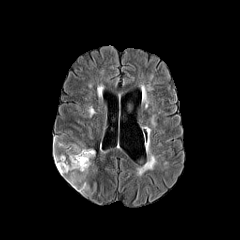
FLAIR MR image.
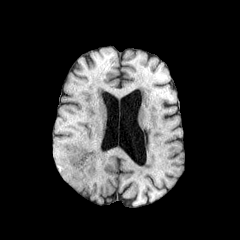
T1-weighted MR image of the same slice.
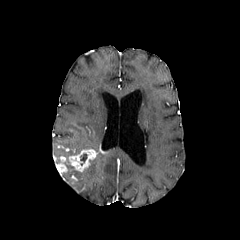
Post-contrast T1-weighted MR image of the same slice.
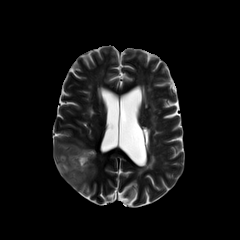
T2-weighted MR.
Head; Axial plane
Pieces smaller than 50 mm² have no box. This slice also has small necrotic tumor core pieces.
{"peritumoral_edema": ["bbox(60, 165, 88, 193)", "bbox(53, 137, 91, 158)"], "enhancing_tumor": ["bbox(55, 149, 96, 173)"]}